FLAIR magnetic resonance.
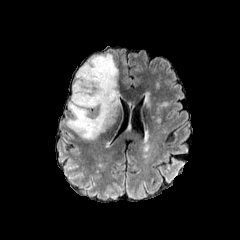
T1-weighted MRI.
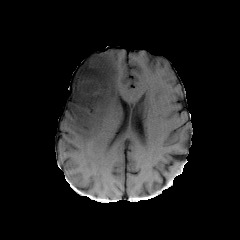
Post-contrast T1-weighted MR.
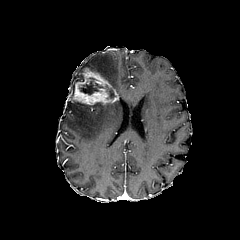
T2-weighted MR image.
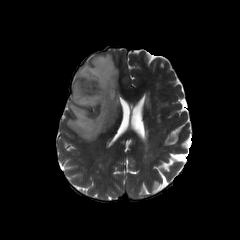
Axial slice.
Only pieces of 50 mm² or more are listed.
The largest necrotic tumor core region lies within 79,78,102,94. The peritumoral edema lies within 66,54,120,140. The enhancing tumor lies within 72,68,118,105.